FLAIR MRI.
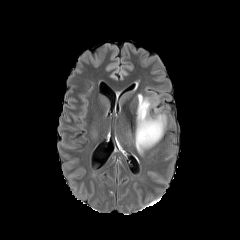
T1-weighted MRI.
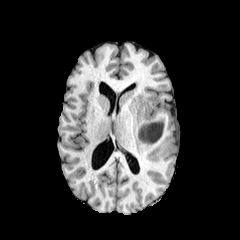
Post-contrast T1-weighted MRI.
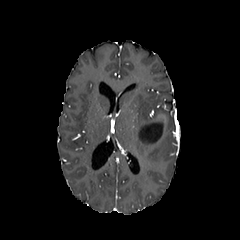
T2-weighted MR image.
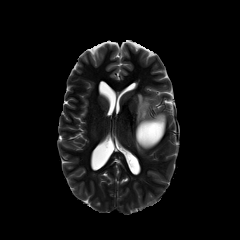
Axial plane.
The peritumoral edema is bounded by rect(127, 91, 165, 156).